Axial plane. Image covers 240 mm x 240 mm.
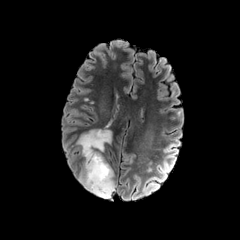
FLAIR MR image.
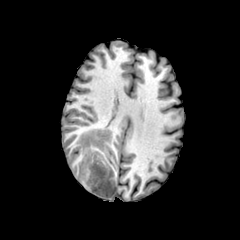
T1-weighted MRI.
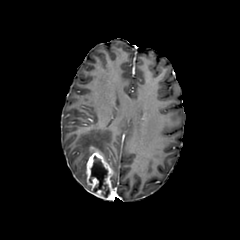
Post-contrast T1-weighted MR image.
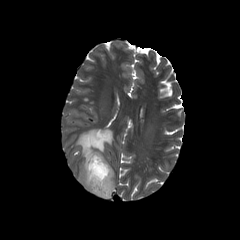
T2-weighted magnetic resonance.
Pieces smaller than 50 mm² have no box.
{
  "enhancing_tumor": [
    "[x1=86, y1=147, x2=115, y2=199]"
  ],
  "peritumoral_edema": [
    "[x1=76, y1=125, x2=112, y2=189]"
  ],
  "necrotic_tumor_core": [
    "[x1=89, y1=156, x2=109, y2=197]"
  ]
}